Image width 240 mm | Axial plane | Head
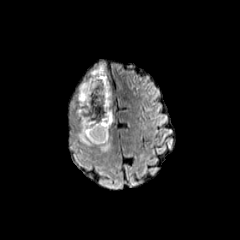
FLAIR MR.
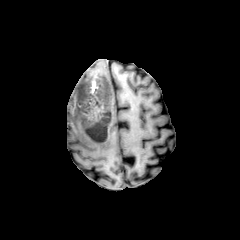
T1-weighted MR.
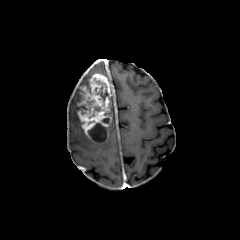
Post-contrast T1-weighted MR.
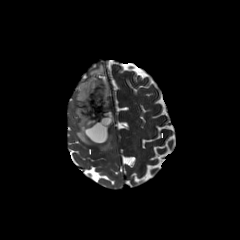
T2-weighted MR of the same slice.
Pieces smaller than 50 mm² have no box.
Annotated regions:
- necrotic tumor core: 88,123,106,142; 81,105,90,114; 94,86,108,101
- enhancing tumor: 77,73,112,142
- peritumoral edema: 75,63,110,151